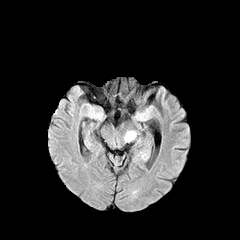
FLAIR MRI.
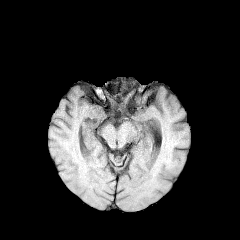
T1-weighted MRI.
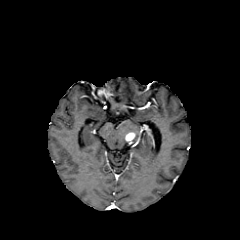
Post-contrast T1-weighted MR image.
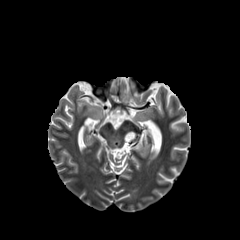
T2-weighted MR image of the same slice.
Brain; Axial plane; 240x240
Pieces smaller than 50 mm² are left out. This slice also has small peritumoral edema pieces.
The enhancing tumor is located at [x1=125, y1=132, x2=135, y2=141].